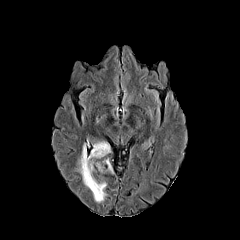
FLAIR magnetic resonance.
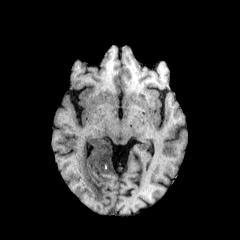
Same slice, T1-weighted MR.
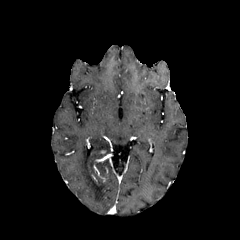
Post-contrast T1-weighted MR.
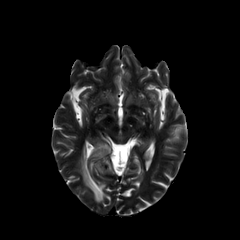
Same slice, T2-weighted MR image.
Head
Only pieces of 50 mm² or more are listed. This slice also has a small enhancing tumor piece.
2 peritumoral edema regions appear at [78, 139, 111, 202], [95, 158, 114, 174].